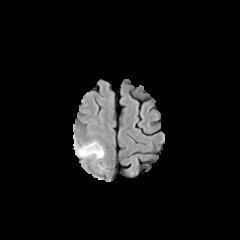
FLAIR MR image.
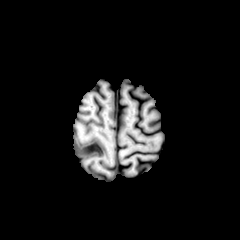
T1-weighted MRI.
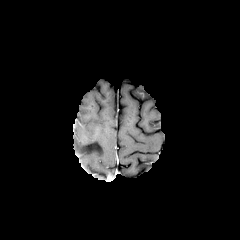
Post-contrast T1-weighted MRI.
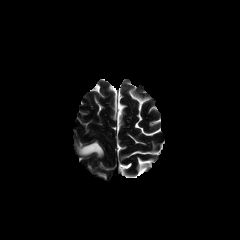
T2-weighted MRI of the same slice.
Head
Annotated regions:
- peritumoral edema: l=75, t=141, r=104, b=158